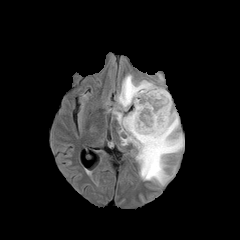
FLAIR magnetic resonance.
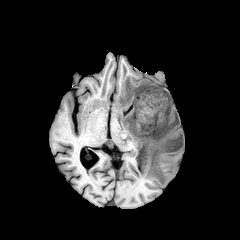
T1-weighted magnetic resonance.
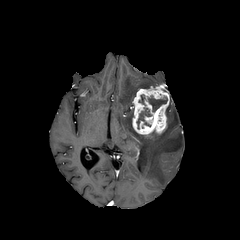
Same slice, post-contrast T1-weighted MRI.
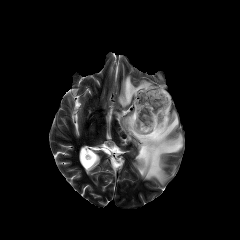
Same slice, T2-weighted MR.
Axial plane; Brain
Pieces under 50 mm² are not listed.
The 2 largest peritumoral edema regions are located at x1=113 y1=101 x2=184 y2=185, x1=117 y1=75 x2=154 y2=110. The enhancing tumor appears at x1=132 y1=84 x2=170 y2=138. The 2 largest necrotic tumor core regions are located at x1=148 y1=97 x2=167 y2=111, x1=137 y1=108 x2=151 y2=128.